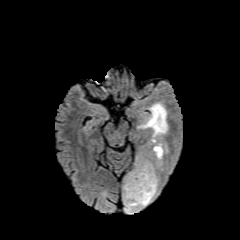
FLAIR magnetic resonance.
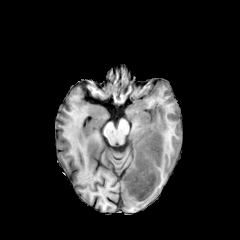
T1-weighted magnetic resonance.
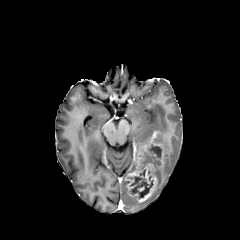
Post-contrast T1-weighted MR image.
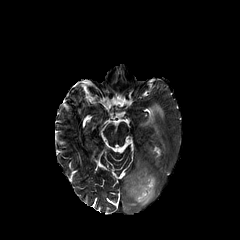
T2-weighted MR image.
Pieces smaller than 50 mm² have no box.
enhancing tumor: 125,131,163,202
peritumoral edema: 145,154,162,166; 123,168,158,212; 138,103,167,152
necrotic tumor core: 148,144,161,158; 130,169,153,198